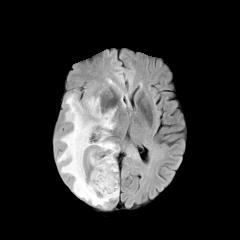
FLAIR MR.
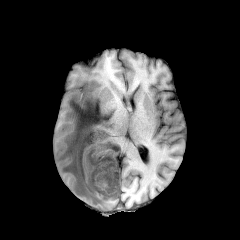
T1-weighted MR image.
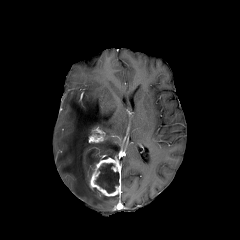
Post-contrast T1-weighted magnetic resonance of the same slice.
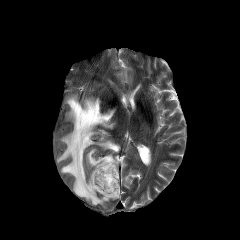
T2-weighted MR of the same slice.
Brain
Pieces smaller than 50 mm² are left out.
- necrotic tumor core: x1=96, y1=163, x2=118, y2=192
- peritumoral edema: x1=57, y1=93, x2=119, y2=207
- enhancing tumor: x1=89, y1=156, x2=120, y2=196; x1=89, y1=127, x2=105, y2=142